FLAIR magnetic resonance.
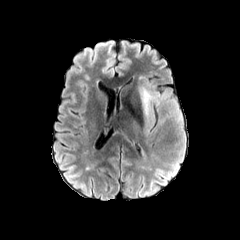
T1-weighted magnetic resonance.
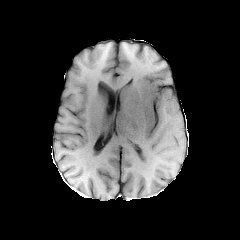
Post-contrast T1-weighted MRI.
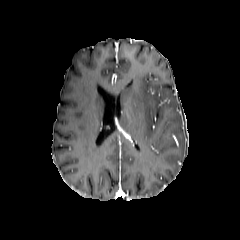
T2-weighted MR.
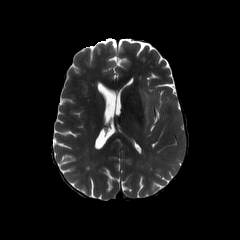
Axial plane
peritumoral edema: bounding box [x1=139, y1=77, x2=159, y2=133]